Slice 121 of 155, Image covers 240 mm x 240 mm, Axial view
FLAIR MRI.
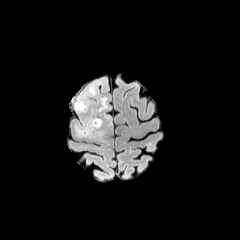
T1-weighted MRI.
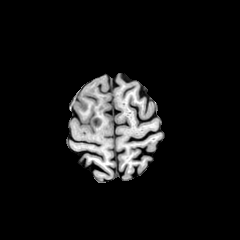
Post-contrast T1-weighted MR image.
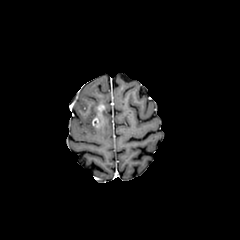
T2-weighted magnetic resonance.
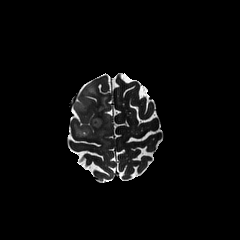
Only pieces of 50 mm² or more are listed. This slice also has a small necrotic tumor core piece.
The 4 largest peritumoral edema regions are located at bbox=[88, 87, 96, 94]; bbox=[101, 96, 108, 109]; bbox=[76, 119, 104, 137]; bbox=[74, 98, 89, 112]. The enhancing tumor is located at bbox=[92, 103, 105, 127].